Axial plane, 240x240, Slice 116/155, Head
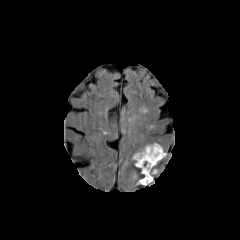
FLAIR MRI.
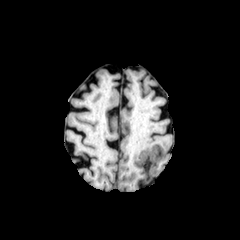
T1-weighted magnetic resonance of the same slice.
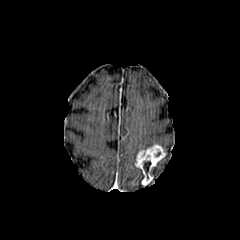
Post-contrast T1-weighted MRI.
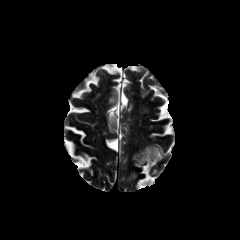
T2-weighted MRI.
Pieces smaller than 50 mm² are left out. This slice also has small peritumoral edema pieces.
necrotic tumor core: bounding box (143, 161, 150, 178)
enhancing tumor: bounding box (134, 144, 166, 185)